FLAIR MR.
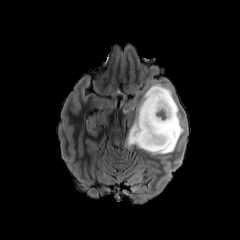
T1-weighted magnetic resonance.
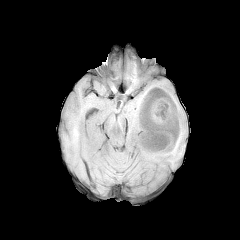
Post-contrast T1-weighted magnetic resonance.
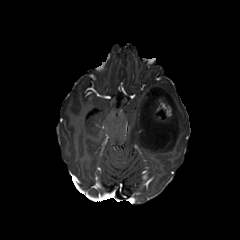
T2-weighted MR.
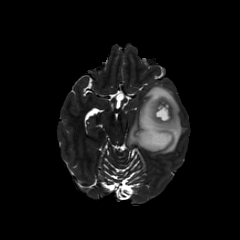
Brain; Axial slice
The necrotic tumor core lies within l=157, t=109, r=166, b=118. The peritumoral edema is located at l=127, t=84, r=184, b=154. The enhancing tumor is located at l=152, t=98, r=172, b=123.